Brain. Axial view. Slice index 123. Image size 240x240.
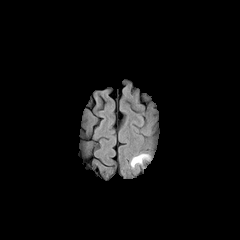
FLAIR MR.
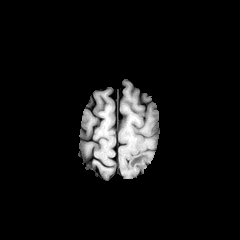
Same slice, T1-weighted MR.
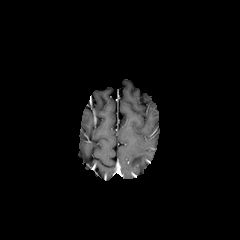
Post-contrast T1-weighted MRI.
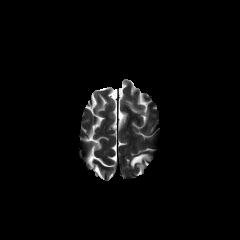
Same slice, T2-weighted MR image.
peritumoral edema: bounding box x1=130 y1=153 x2=150 y2=167